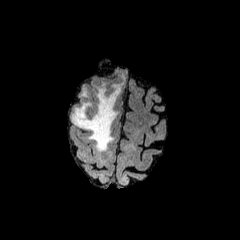
FLAIR magnetic resonance.
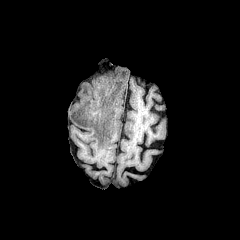
T1-weighted MR image of the same slice.
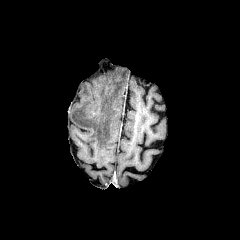
Post-contrast T1-weighted MR image.
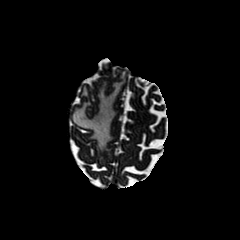
Same slice, T2-weighted MRI.
Axial slice, 240x240 px
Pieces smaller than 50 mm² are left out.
{"peritumoral_edema": ["82, 88, 88, 97", "71, 82, 123, 151"]}